Slice 58 of 155, Image covers 240 mm x 240 mm, 240x240 px
FLAIR MR image.
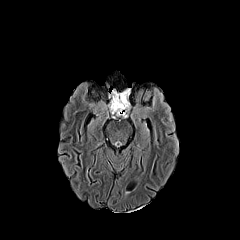
T1-weighted magnetic resonance.
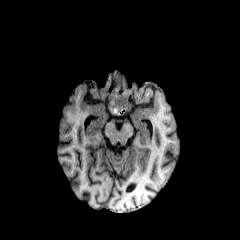
Post-contrast T1-weighted MRI.
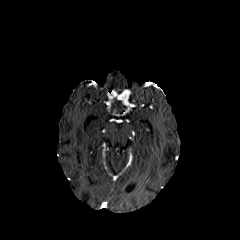
T2-weighted MR image.
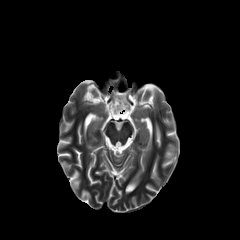
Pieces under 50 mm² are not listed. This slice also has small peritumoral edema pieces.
The necrotic tumor core is at l=110, t=98, r=126, b=113. The largest enhancing tumor region lies within l=110, t=92, r=129, b=115.